FLAIR magnetic resonance.
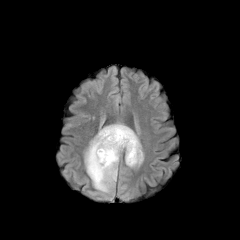
T1-weighted MRI.
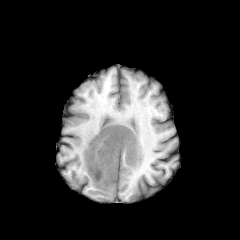
Post-contrast T1-weighted MR image.
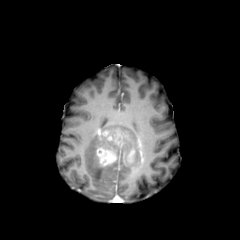
T2-weighted magnetic resonance.
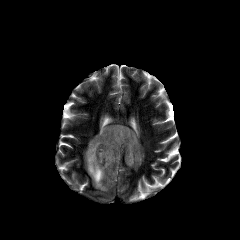
Axial view; Brain; 240x240 px
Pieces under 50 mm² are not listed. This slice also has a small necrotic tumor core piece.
peritumoral edema: bounding box (84,124,143,192)
enhancing tumor: bounding box (97,147,116,166), (107,130,123,146), (128,149,134,162), (98,130,109,136)